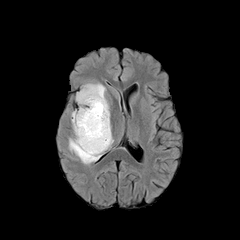
FLAIR MR image.
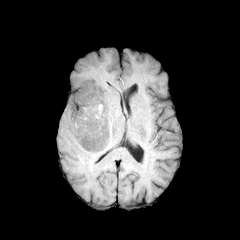
Same slice, T1-weighted MR image.
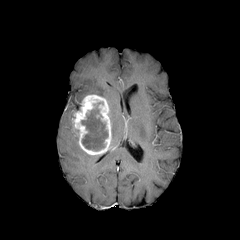
Post-contrast T1-weighted magnetic resonance of the same slice.
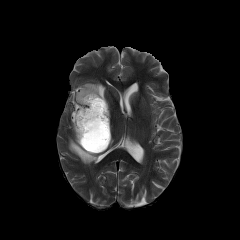
Same slice, T2-weighted magnetic resonance.
240x240, Head, Axial slice
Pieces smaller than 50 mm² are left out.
enhancing tumor at (72, 94, 111, 155)
peritumoral edema at (75, 82, 106, 107), (69, 129, 98, 164)
necrotic tumor core at (81, 108, 107, 150)